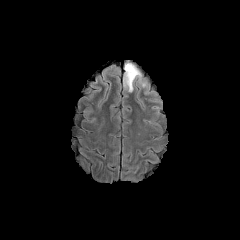
FLAIR magnetic resonance.
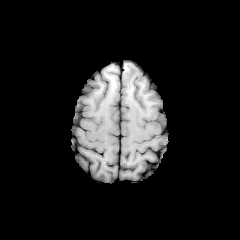
Same slice, T1-weighted magnetic resonance.
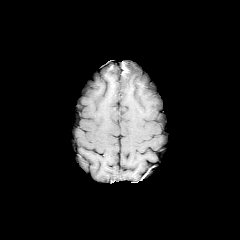
Post-contrast T1-weighted magnetic resonance of the same slice.
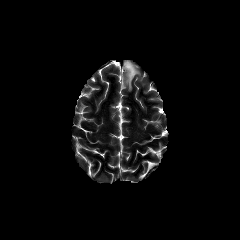
T2-weighted MRI.
{
  "peritumoral_edema": [
    "bbox=[123, 61, 145, 91]"
  ]
}